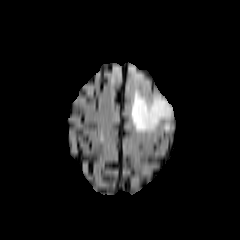
FLAIR MR.
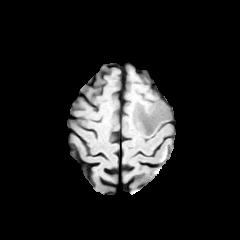
T1-weighted MR image.
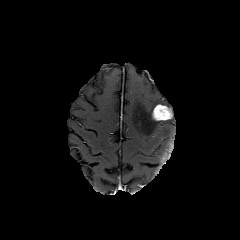
Same slice, post-contrast T1-weighted MR image.
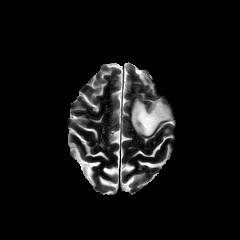
T2-weighted MR.
Brain
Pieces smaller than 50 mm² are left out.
<segmentation>
  <enhancing_tumor>151 103 173 120</enhancing_tumor>
  <peritumoral_edema>131 91 170 134</peritumoral_edema>
</segmentation>